Brain
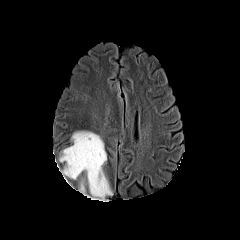
FLAIR MR image.
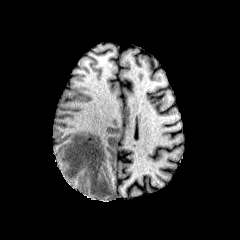
T1-weighted MRI.
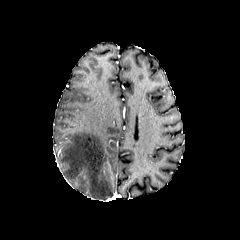
Same slice, post-contrast T1-weighted MR image.
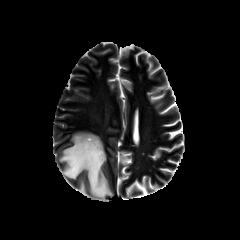
Same slice, T2-weighted magnetic resonance.
2 peritumoral edema regions are located at <bbox>79, 181, 87, 195</bbox>, <bbox>59, 131, 112, 200</bbox>.